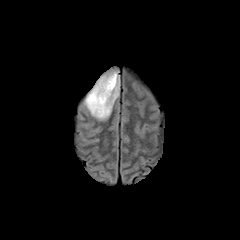
FLAIR magnetic resonance.
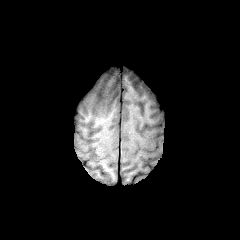
T1-weighted MRI of the same slice.
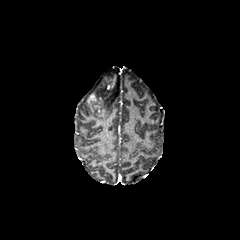
Same slice, post-contrast T1-weighted MR.
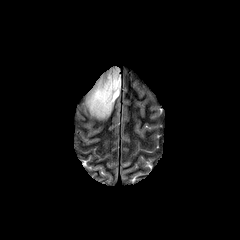
T2-weighted MR image.
Axial plane
Findings:
* enhancing tumor: box=[88, 91, 109, 114]; box=[106, 75, 116, 90]
* peritumoral edema: box=[85, 70, 120, 119]